Head, Image size 240x240, Image covers 240 mm x 240 mm
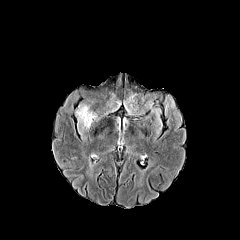
FLAIR MR image.
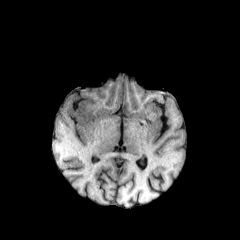
T1-weighted magnetic resonance.
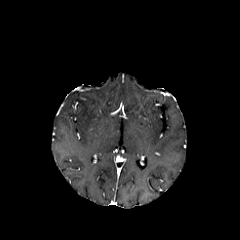
Post-contrast T1-weighted MR image.
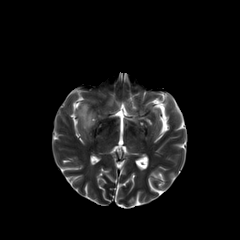
T2-weighted MR of the same slice.
peritumoral_edema:
  - [77, 105, 95, 128]